FLAIR MR.
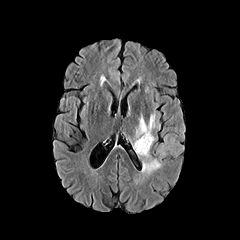
T1-weighted MR image.
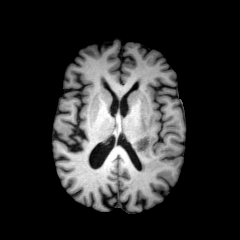
Post-contrast T1-weighted MR.
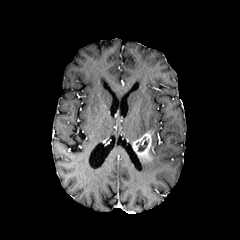
T2-weighted MRI.
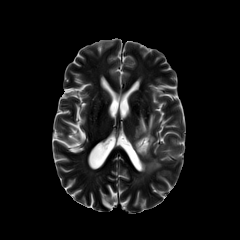
Brain
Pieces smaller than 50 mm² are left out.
2 peritumoral edema regions are bounded by <bbox>135, 112, 156, 143</bbox>, <bbox>142, 159, 161, 173</bbox>. The necrotic tumor core is at <bbox>136, 137, 148, 151</bbox>. The largest enhancing tumor region is bounded by <bbox>133, 132, 152, 160</bbox>.